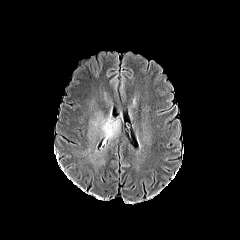
FLAIR magnetic resonance.
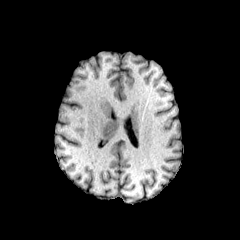
T1-weighted magnetic resonance.
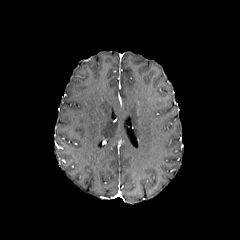
Post-contrast T1-weighted MR image of the same slice.
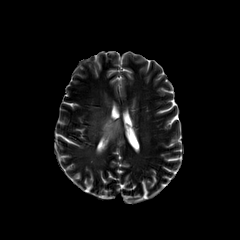
T2-weighted MRI of the same slice.
Axial slice
<segmentation>
  <peritumoral_edema>rect(94, 117, 119, 139)</peritumoral_edema>
</segmentation>